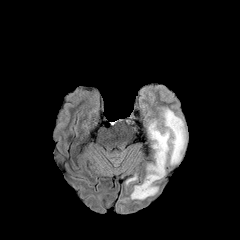
FLAIR MRI.
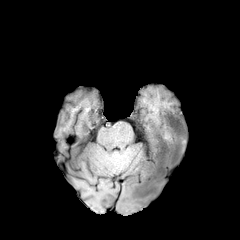
T1-weighted magnetic resonance of the same slice.
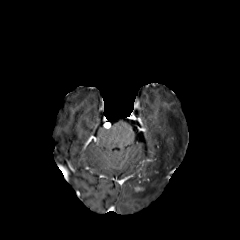
Same slice, post-contrast T1-weighted MR.
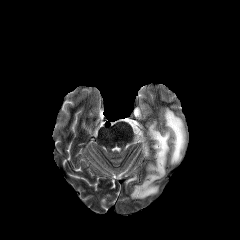
T2-weighted MR image.
Axial view
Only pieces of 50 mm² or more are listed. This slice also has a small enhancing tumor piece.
peritumoral edema at {"x1": 130, "y1": 108, "x2": 186, "y2": 199}, {"x1": 126, "y1": 175, "x2": 137, "y2": 184}